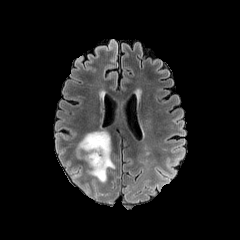
FLAIR MRI.
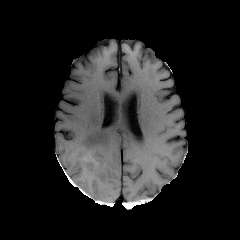
T1-weighted MR.
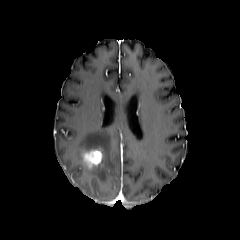
Same slice, post-contrast T1-weighted MR.
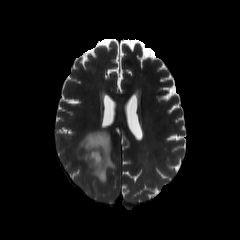
T2-weighted MRI.
Axial plane; Brain
The peritumoral edema appears at bbox=[77, 131, 115, 182]. The enhancing tumor appears at bbox=[82, 147, 103, 169].